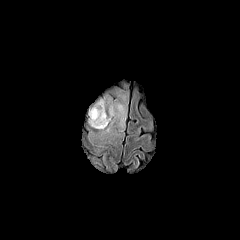
FLAIR MR image.
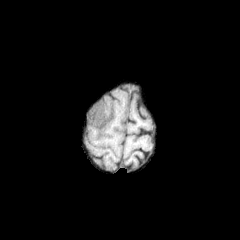
Same slice, T1-weighted MRI.
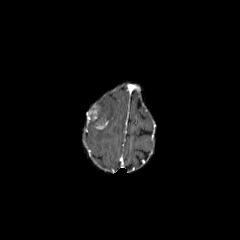
Post-contrast T1-weighted MR of the same slice.
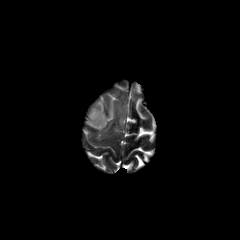
T2-weighted MR of the same slice.
Axial plane; 240x240
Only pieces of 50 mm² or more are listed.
2 enhancing tumor regions appear at 94,114,108,129; 87,105,100,120. The largest peritumoral edema region is at 95,99,126,135. The necrotic tumor core is bounded by 89,111,103,125.